Image width 240 mm, 1.00 mm slice spacing. Axial view.
FLAIR MRI.
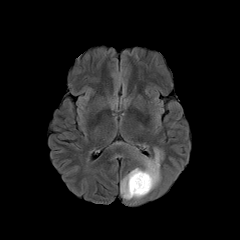
T1-weighted magnetic resonance.
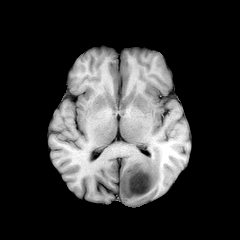
Post-contrast T1-weighted MR.
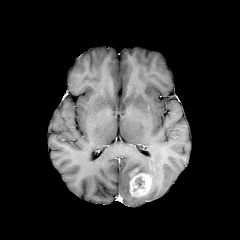
T2-weighted MR image.
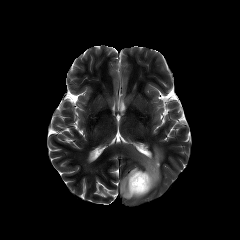
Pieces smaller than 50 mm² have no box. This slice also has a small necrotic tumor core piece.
{"enhancing_tumor": ["129 169 152 196"], "peritumoral_edema": ["120 148 162 201"]}